Brain | Slice index 85
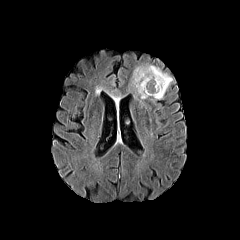
FLAIR magnetic resonance.
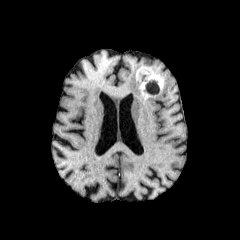
T1-weighted MRI.
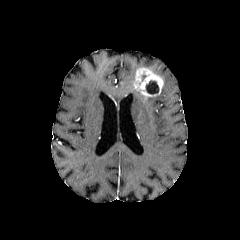
Post-contrast T1-weighted MR image.
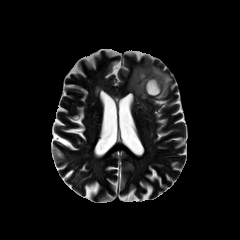
T2-weighted MR image.
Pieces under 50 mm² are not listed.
The enhancing tumor lies within <box>133,67,163,96</box>. The peritumoral edema is located at <box>131,65,172,99</box>. The largest necrotic tumor core region is at <box>146,80,158,94</box>.